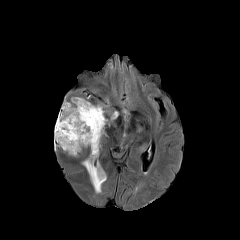
FLAIR magnetic resonance.
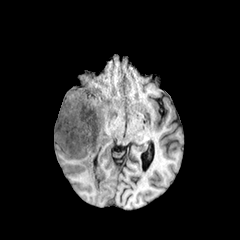
T1-weighted magnetic resonance.
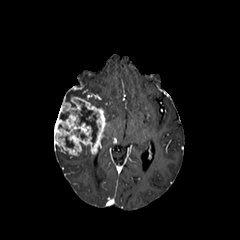
Same slice, post-contrast T1-weighted magnetic resonance.
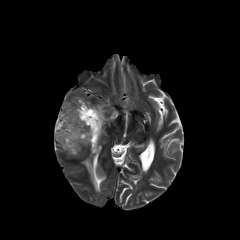
T2-weighted MR image.
Axial plane
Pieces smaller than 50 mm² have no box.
peritumoral edema: bounding box l=65, t=89, r=84, b=106; l=82, t=148, r=106, b=193
enhancing tumor: bounding box l=54, t=97, r=106, b=155
necrotic tumor core: bounding box l=79, t=101, r=97, b=142; l=65, t=136, r=73, b=148; l=60, t=112, r=69, b=120